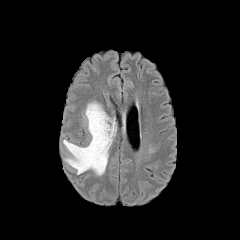
FLAIR magnetic resonance.
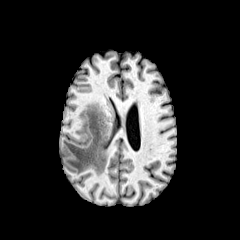
T1-weighted MRI of the same slice.
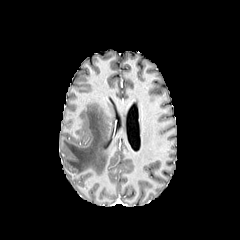
Post-contrast T1-weighted magnetic resonance.
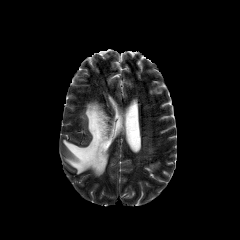
Same slice, T2-weighted magnetic resonance.
The peritumoral edema is at {"x1": 63, "y1": 102, "x2": 115, "y2": 175}.